FLAIR MRI.
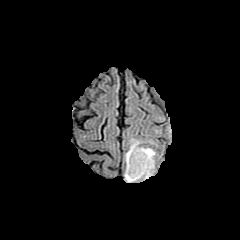
T1-weighted magnetic resonance.
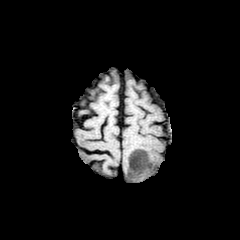
Post-contrast T1-weighted magnetic resonance.
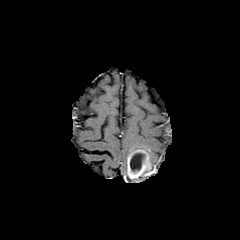
T2-weighted MRI.
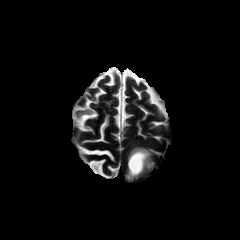
Axial slice | Head
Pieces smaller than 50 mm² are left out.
{"peritumoral_edema": ["124:167:149:181", "125:139:155:164"], "necrotic_tumor_core": ["130:153:144:171"], "enhancing_tumor": ["125:149:154:179"]}